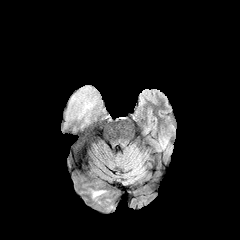
FLAIR MR.
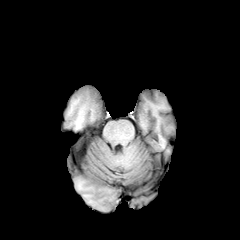
T1-weighted MR image.
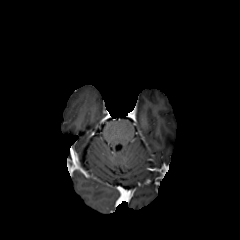
Post-contrast T1-weighted MR image.
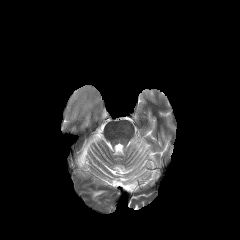
T2-weighted magnetic resonance.
Head
peritumoral edema: rect(92, 190, 105, 198); rect(62, 85, 102, 131)